FLAIR magnetic resonance.
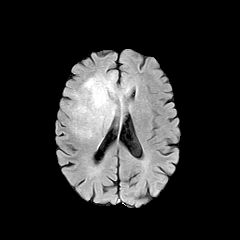
T1-weighted MR.
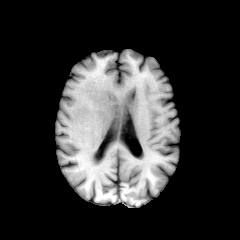
Post-contrast T1-weighted magnetic resonance.
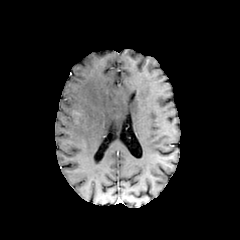
T2-weighted MR.
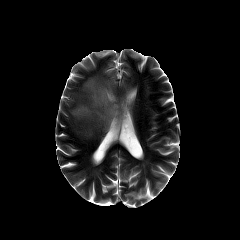
Image size 240x240 | Head
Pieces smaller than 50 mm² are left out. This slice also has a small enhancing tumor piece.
peritumoral edema: 72, 74, 116, 136